Brain; Slice 95/155
FLAIR MR.
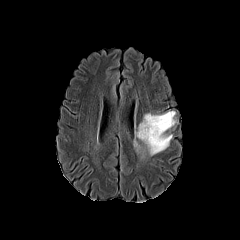
T1-weighted MR.
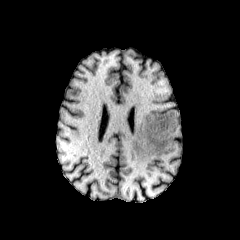
Post-contrast T1-weighted MRI.
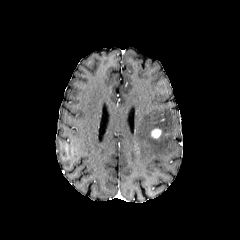
T2-weighted MRI.
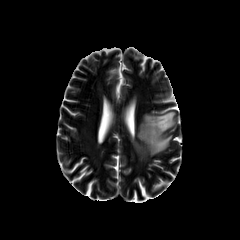
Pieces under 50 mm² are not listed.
The enhancing tumor is at (151,128,161,138). The largest peritumoral edema region lies within (135,111,176,156).